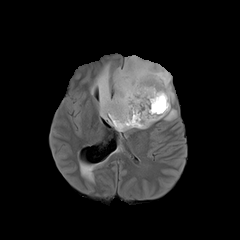
FLAIR MR.
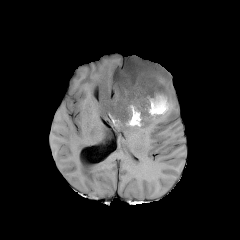
T1-weighted MR of the same slice.
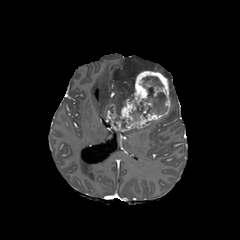
Same slice, post-contrast T1-weighted MRI.
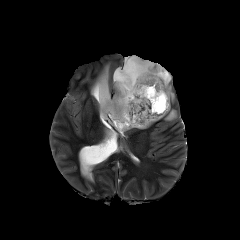
T2-weighted magnetic resonance.
Axial plane. 240x240.
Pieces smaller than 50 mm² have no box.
necrotic tumor core: 143:87:166:118, 133:102:144:120, 143:76:162:86 | enhancing tumor: 104:70:170:131 | peritumoral edema: 162:108:177:120, 91:56:174:119